FLAIR MR.
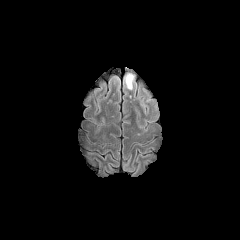
T1-weighted MR.
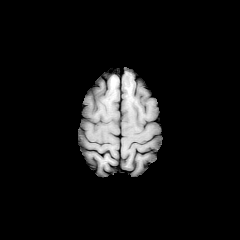
Post-contrast T1-weighted MRI.
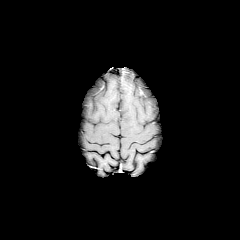
T2-weighted MR.
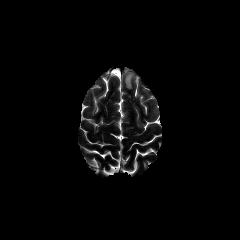
Axial plane
peritumoral edema: {"x1": 124, "y1": 73, "x2": 134, "y2": 89}